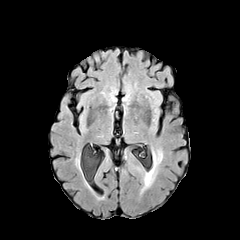
FLAIR MR.
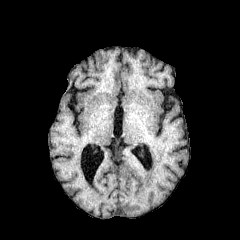
T1-weighted MR of the same slice.
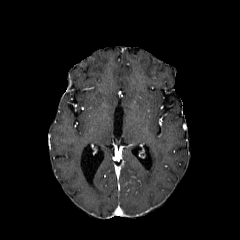
Post-contrast T1-weighted MR.
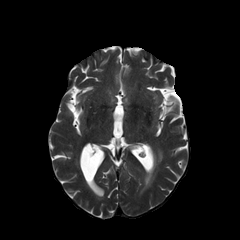
Same slice, T2-weighted MR image.
The peritumoral edema appears at [142, 153, 161, 191].